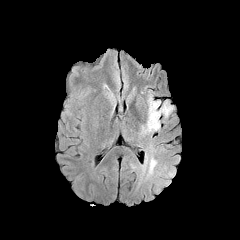
FLAIR MR.
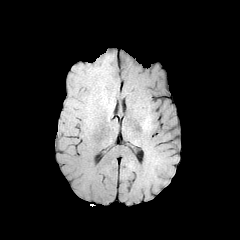
Same slice, T1-weighted MRI.
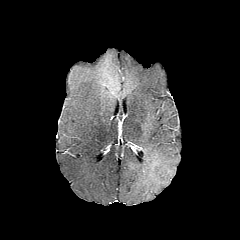
Post-contrast T1-weighted MR of the same slice.
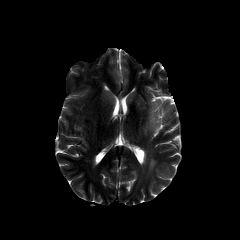
Same slice, T2-weighted MR image.
- peritumoral edema: bbox=[108, 133, 118, 145]; bbox=[123, 91, 180, 181]